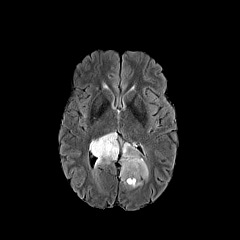
FLAIR magnetic resonance.
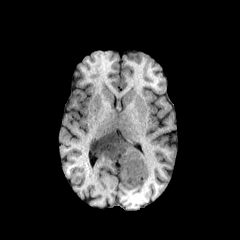
T1-weighted magnetic resonance of the same slice.
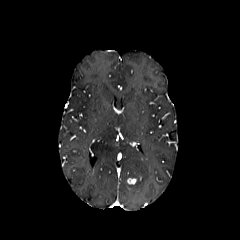
Post-contrast T1-weighted MR.
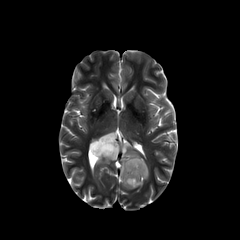
T2-weighted MR image.
Axial slice.
The peritumoral edema is bounded by x1=89, y1=132, x2=148, y2=188. The enhancing tumor lies within x1=127, y1=178, x2=136, y2=184.